FLAIR MR image.
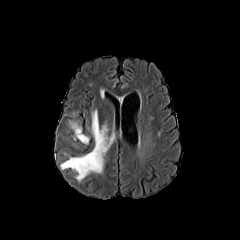
T1-weighted MRI.
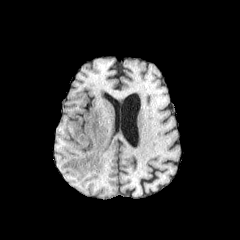
Post-contrast T1-weighted MR.
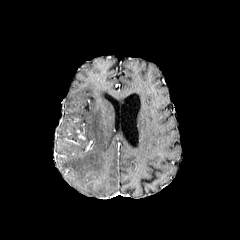
T2-weighted MR.
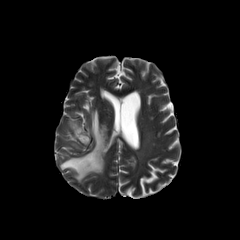
Axial view
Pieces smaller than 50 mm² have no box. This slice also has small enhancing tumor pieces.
peritumoral edema — left=60, top=110, right=114, bottom=181; left=69, top=121, right=89, bottom=144